FLAIR MR image.
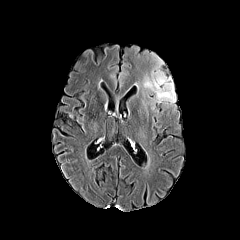
T1-weighted magnetic resonance.
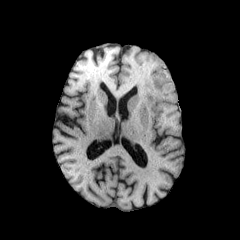
Post-contrast T1-weighted MR.
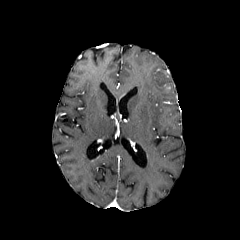
T2-weighted MRI.
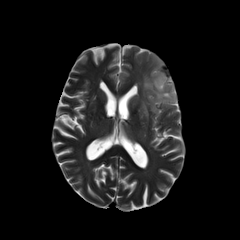
Axial slice
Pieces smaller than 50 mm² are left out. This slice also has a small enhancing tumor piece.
• peritumoral edema: (left=142, top=53, right=176, bottom=108)